FLAIR MRI.
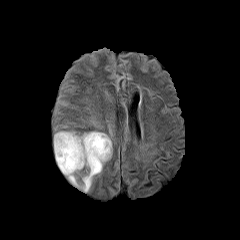
T1-weighted MR image.
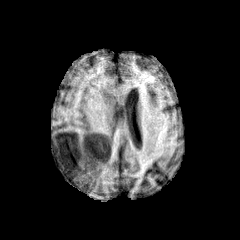
Post-contrast T1-weighted MRI.
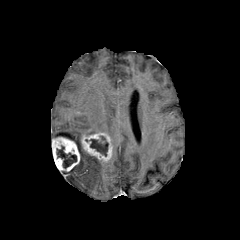
T2-weighted magnetic resonance.
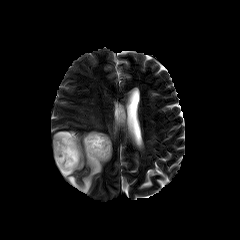
Axial plane.
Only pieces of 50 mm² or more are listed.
necrotic tumor core: bbox=[90, 136, 108, 156]; bbox=[57, 146, 76, 168]
enhancing tumor: bbox=[52, 136, 80, 171]; bbox=[81, 132, 112, 162]
peritumoral edema: bbox=[54, 131, 104, 192]